Slice 63 of 155
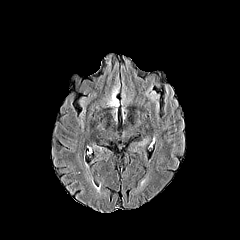
FLAIR MR.
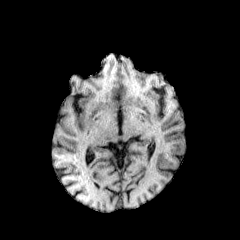
Same slice, T1-weighted magnetic resonance.
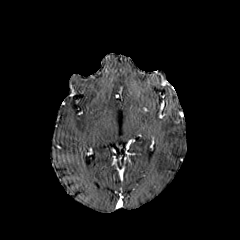
Post-contrast T1-weighted MR of the same slice.
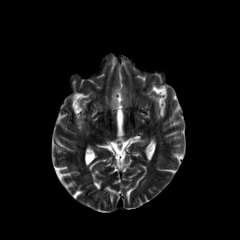
T2-weighted MR image.
The peritumoral edema is at <bbox>108, 84, 119, 106</bbox>.